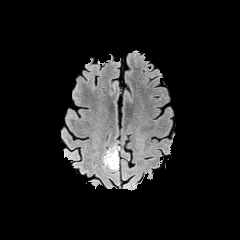
FLAIR MRI.
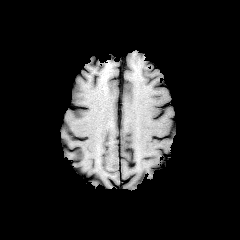
Same slice, T1-weighted MR image.
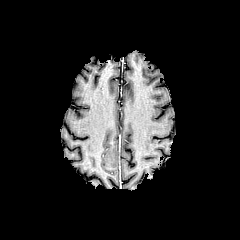
Same slice, post-contrast T1-weighted MR image.
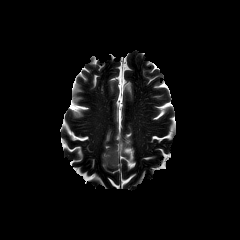
T2-weighted MR image.
Image size 240x240
peritumoral edema: bbox(102, 149, 118, 168)